FLAIR MR image.
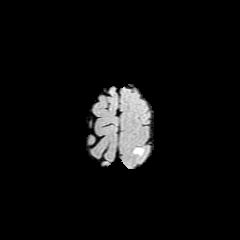
T1-weighted magnetic resonance.
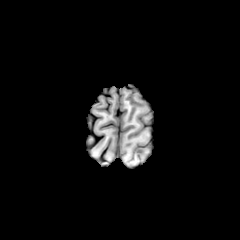
Post-contrast T1-weighted MR image.
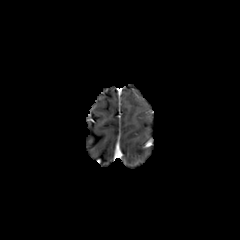
T2-weighted MRI.
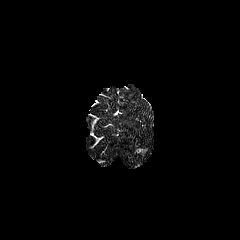
Axial plane, Head
The peritumoral edema lies within 134 148 143 154.